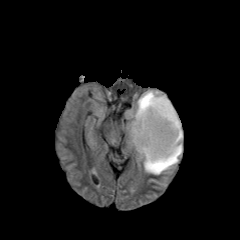
FLAIR MRI.
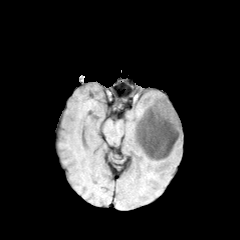
Same slice, T1-weighted MR.
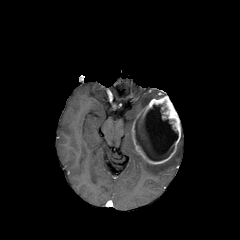
Post-contrast T1-weighted MRI of the same slice.
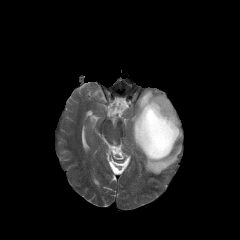
T2-weighted MR image of the same slice.
Brain | Image size 240x240
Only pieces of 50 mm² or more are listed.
peritumoral_edema:
  - bbox=[139, 131, 182, 174]
  - bbox=[124, 90, 165, 145]
necrotic_tumor_core:
  - bbox=[135, 105, 178, 161]
enhancing_tumor:
  - bbox=[132, 96, 181, 164]